240x240 px. Slice index 72. Brain. Axial view.
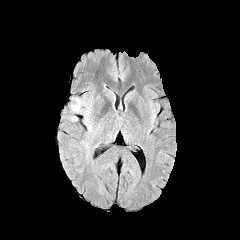
FLAIR MRI.
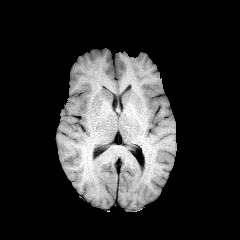
T1-weighted MR image.
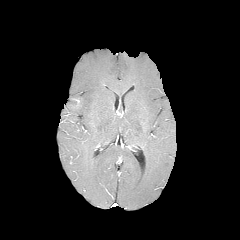
Post-contrast T1-weighted MRI.
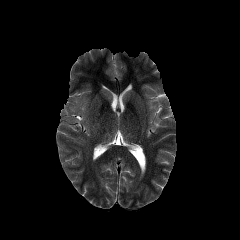
T2-weighted MR of the same slice.
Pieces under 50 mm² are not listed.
{"peritumoral_edema": ["69:97:90:129"]}